Head | Image covers 240 mm x 240 mm | Slice 63/155 | Axial plane | 240x240
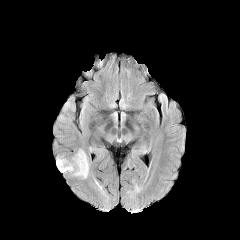
FLAIR MRI.
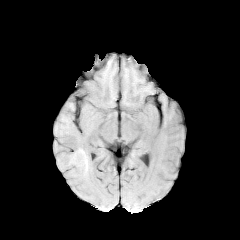
T1-weighted MR.
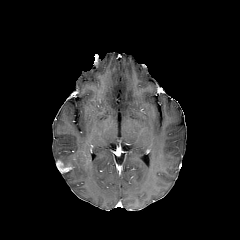
Post-contrast T1-weighted MR image.
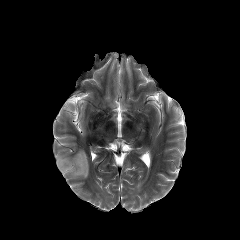
Same slice, T2-weighted MR.
Segmented structures:
• enhancing tumor: (56,160,73,172)
• peritumoral edema: (56,149,89,178)